Brain | Image width 240 mm, 1.00 mm slice spacing
FLAIR MR image.
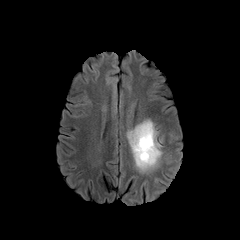
T1-weighted MRI.
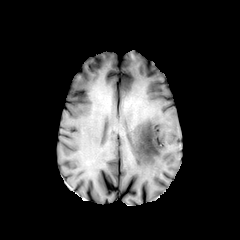
Post-contrast T1-weighted MR image.
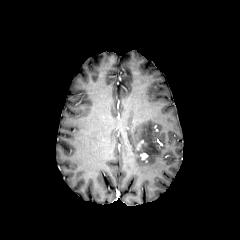
T2-weighted MR.
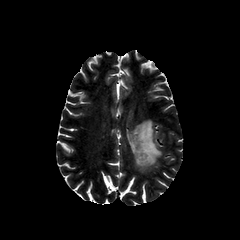
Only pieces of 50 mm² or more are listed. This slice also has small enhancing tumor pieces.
Segmented structures:
• peritumoral edema: {"x1": 127, "y1": 119, "x2": 162, "y2": 172}